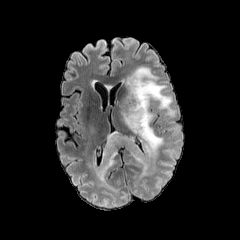
FLAIR MRI.
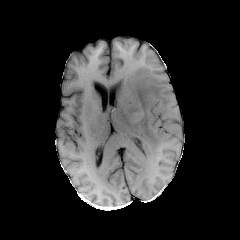
T1-weighted MR image.
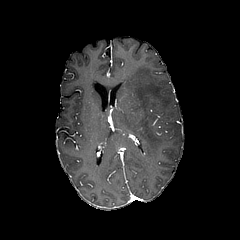
Post-contrast T1-weighted MR.
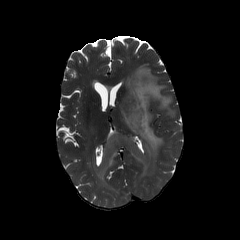
T2-weighted MR.
240x240, Axial slice, Brain
2 peritumoral edema regions appear at 122:66:174:157, 98:132:146:178.